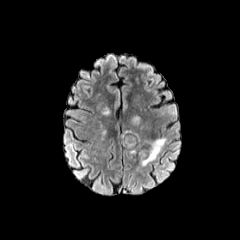
FLAIR magnetic resonance.
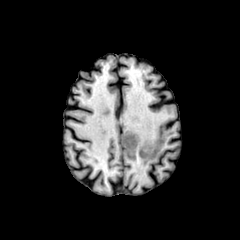
T1-weighted magnetic resonance.
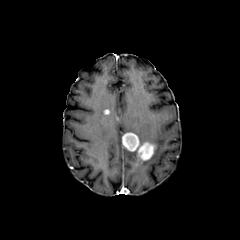
Post-contrast T1-weighted MR.
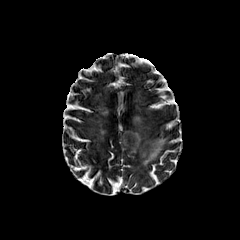
T2-weighted magnetic resonance.
240x240. Brain.
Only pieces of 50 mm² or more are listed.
peritumoral edema — left=140, top=136, right=166, bottom=166
enhancing tumor — left=138, top=142, right=155, bottom=160; left=122, top=132, right=139, bottom=151